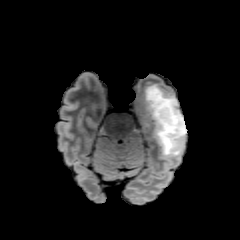
FLAIR magnetic resonance.
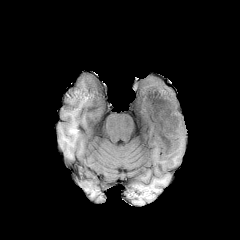
T1-weighted magnetic resonance.
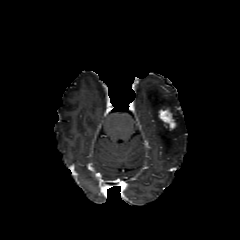
Post-contrast T1-weighted MR of the same slice.
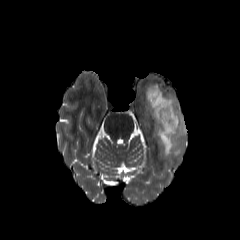
Same slice, T2-weighted MR image.
Head; Axial view
<segmentation>
  <enhancing_tumor>(158, 108, 176, 130)</enhancing_tumor>
  <peritumoral_edema>(145, 85, 186, 160)</peritumoral_edema>
</segmentation>